Slice 113 of 155, Axial view
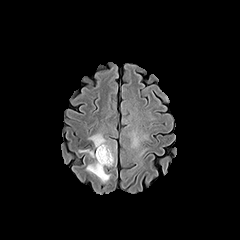
FLAIR magnetic resonance.
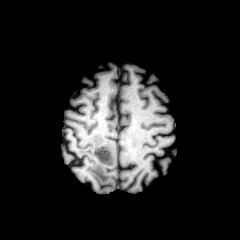
Same slice, T1-weighted MR.
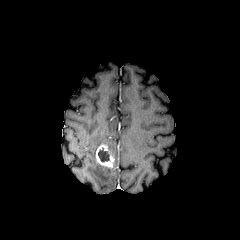
Post-contrast T1-weighted MR.
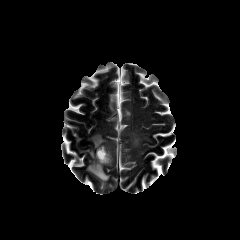
T2-weighted MR image of the same slice.
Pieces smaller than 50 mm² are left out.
{
  "necrotic_tumor_core": [
    "[98, 148, 109, 161]"
  ],
  "enhancing_tumor": [
    "[96, 144, 114, 167]"
  ],
  "peritumoral_edema": [
    "[80, 149, 110, 182]",
    "[89, 133, 110, 150]"
  ]
}